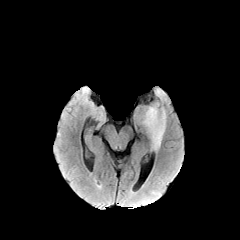
FLAIR MR.
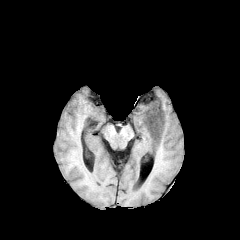
T1-weighted magnetic resonance.
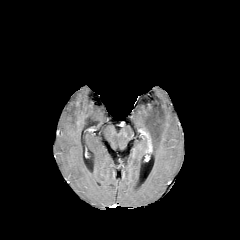
Post-contrast T1-weighted MR image.
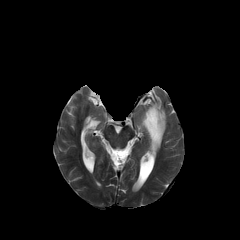
T2-weighted MR image.
Brain
peritumoral edema: (142, 104, 165, 150)